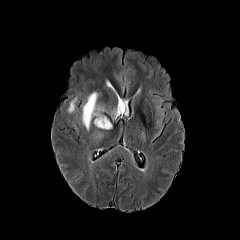
FLAIR MRI.
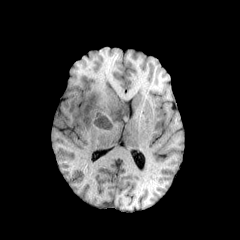
T1-weighted MRI.
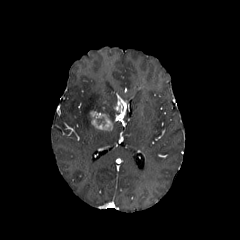
Same slice, post-contrast T1-weighted magnetic resonance.
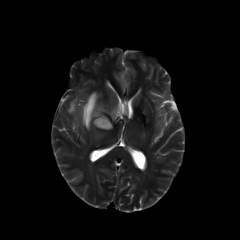
Same slice, T2-weighted MR image.
Brain, Axial view, 240x240
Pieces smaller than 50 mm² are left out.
The 2 largest enhancing tumor regions are bounded by [114,99,122,119], [89,110,112,130]. The 2 largest peritumoral edema regions are bounded by [82,92,104,130], [68,97,76,112].